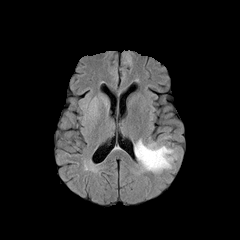
FLAIR MRI.
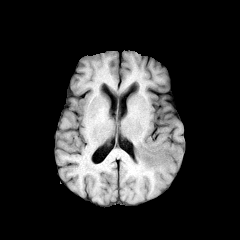
Same slice, T1-weighted MR image.
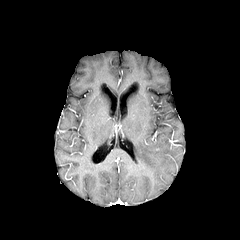
Post-contrast T1-weighted MR of the same slice.
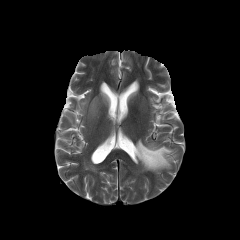
T2-weighted MRI.
Axial view
4 peritumoral edema regions are bounded by (98, 93, 107, 105), (82, 94, 89, 107), (83, 97, 97, 138), (134, 139, 176, 172).